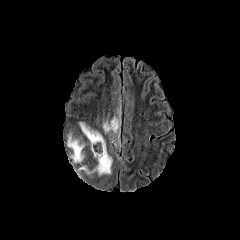
FLAIR MRI.
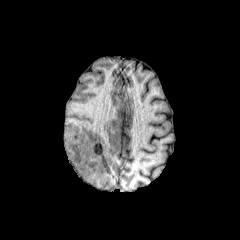
T1-weighted MR image.
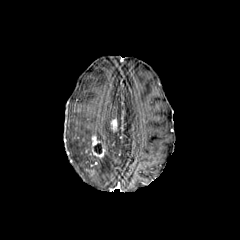
Post-contrast T1-weighted magnetic resonance.
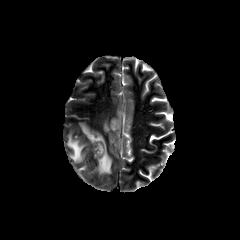
T2-weighted magnetic resonance of the same slice.
240x240 px, Axial view
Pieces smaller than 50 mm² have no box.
- enhancing tumor: {"x1": 111, "y1": 118, "x2": 117, "y2": 131}, {"x1": 91, "y1": 135, "x2": 105, "y2": 158}
- peritumoral edema: {"x1": 67, "y1": 134, "x2": 85, "y2": 162}, {"x1": 78, "y1": 165, "x2": 92, "y2": 174}, {"x1": 103, "y1": 120, "x2": 112, "y2": 133}, {"x1": 79, "y1": 122, "x2": 112, "y2": 175}, {"x1": 113, "y1": 110, "x2": 120, "y2": 137}
- necrotic tumor core: {"x1": 94, "y1": 143, "x2": 101, "y2": 153}